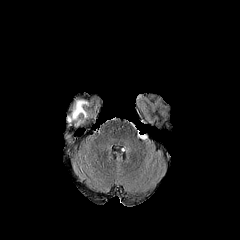
FLAIR MRI.
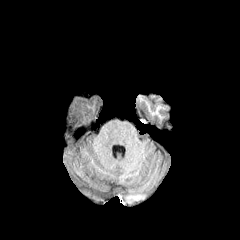
T1-weighted MRI.
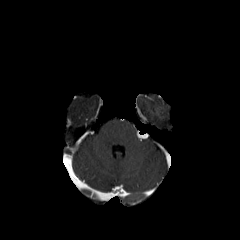
Same slice, post-contrast T1-weighted MRI.
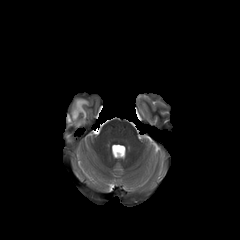
T2-weighted MR image of the same slice.
Brain.
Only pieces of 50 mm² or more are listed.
Annotated regions:
• peritumoral edema: <bbox>66, 99, 88, 121</bbox>